Slice 87 of 155 | Image width 240 mm, 1.00 mm slice spacing | 240x240
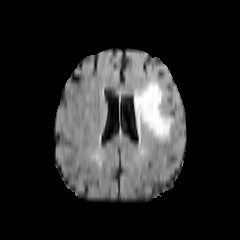
FLAIR MR image.
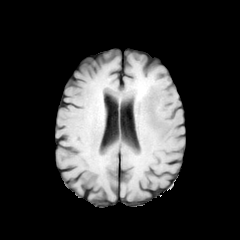
Same slice, T1-weighted MRI.
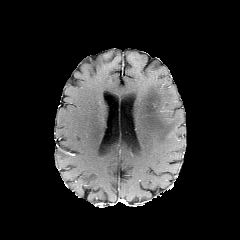
Same slice, post-contrast T1-weighted MRI.
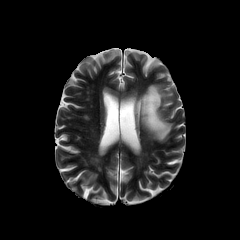
Same slice, T2-weighted MR image.
The peritumoral edema is located at {"x1": 137, "y1": 82, "x2": 172, "y2": 141}.